FLAIR MRI.
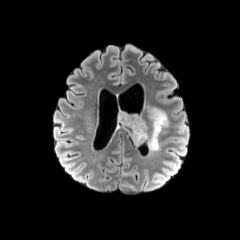
T1-weighted magnetic resonance.
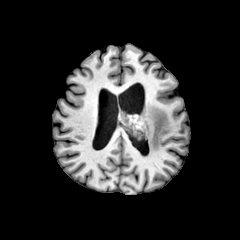
Post-contrast T1-weighted MRI.
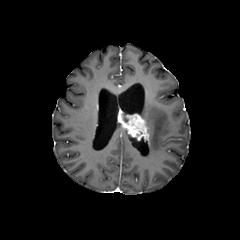
T2-weighted MR image.
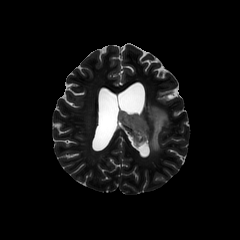
Axial plane, Head, 240x240 px
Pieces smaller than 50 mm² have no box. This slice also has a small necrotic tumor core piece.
{"enhancing_tumor": ["<bbox>118, 110, 149, 143</bbox>"], "peritumoral_edema": ["<bbox>148, 107, 168, 151</bbox>"]}